Slice index 81, Image width 240 mm, 1.00 mm slice spacing
FLAIR MR.
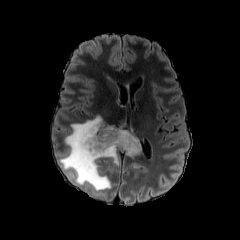
T1-weighted MR.
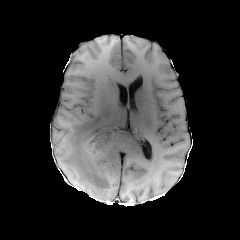
Post-contrast T1-weighted MRI.
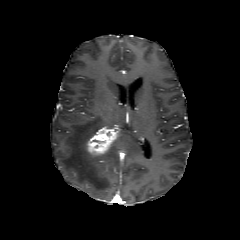
T2-weighted MR.
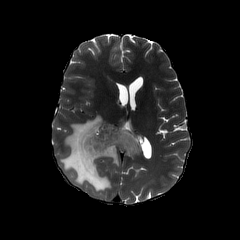
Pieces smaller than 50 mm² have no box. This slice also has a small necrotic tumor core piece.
The peritumoral edema is located at rect(59, 115, 140, 191). The enhancing tumor is located at rect(85, 126, 119, 156).